Axial plane. Brain.
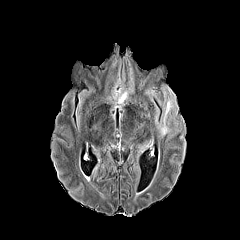
FLAIR MR image.
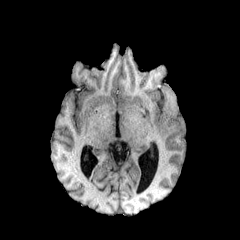
T1-weighted MR image.
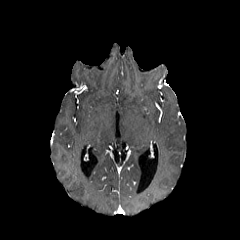
Post-contrast T1-weighted MR image.
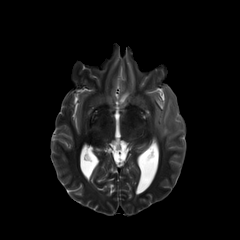
T2-weighted MR image of the same slice.
{
  "peritumoral_edema": [
    "119,92,127,104",
    "155,101,177,136"
  ]
}